Image size 240x240. Brain.
FLAIR magnetic resonance.
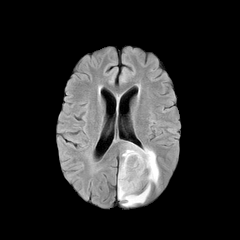
T1-weighted MRI.
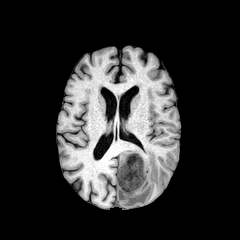
Post-contrast T1-weighted magnetic resonance.
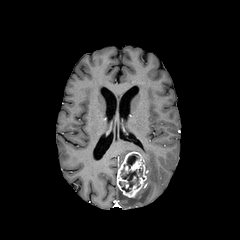
T2-weighted MR image.
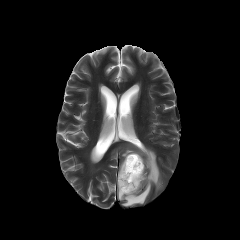
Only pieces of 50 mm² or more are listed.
Findings:
• peritumoral edema: 118 143 159 206
• enhancing tumor: 117 151 146 197
• necrotic tumor core: 126 154 138 168, 119 169 142 192